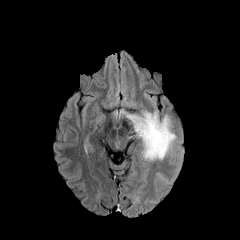
FLAIR MRI.
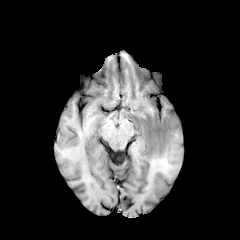
Same slice, T1-weighted MR image.
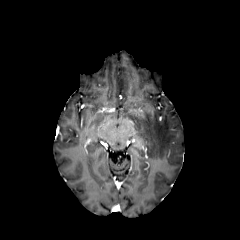
Post-contrast T1-weighted MRI of the same slice.
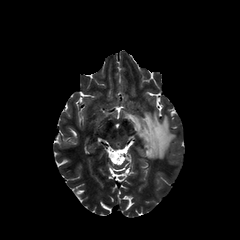
T2-weighted MR.
Axial plane; 240x240
peritumoral edema: box=[127, 111, 175, 159]